FLAIR MR image.
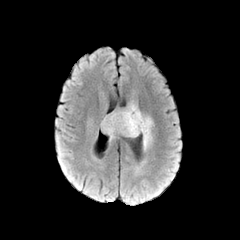
T1-weighted MRI.
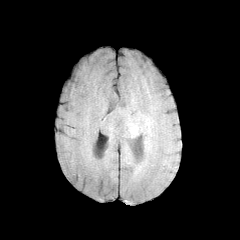
Post-contrast T1-weighted MR.
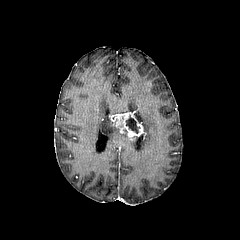
T2-weighted MRI.
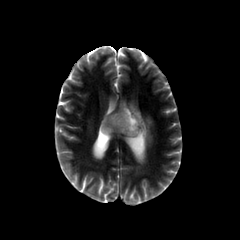
Head, 240x240 px
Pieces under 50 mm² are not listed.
The largest necrotic tumor core region is at box=[126, 116, 139, 133]. 3 peritumoral edema regions are located at box=[134, 111, 152, 149]; box=[109, 103, 136, 115]; box=[101, 116, 119, 139]. The enhancing tumor is at box=[109, 111, 144, 141].